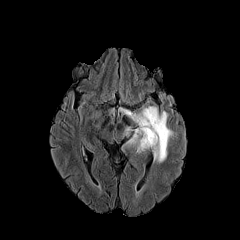
FLAIR MR.
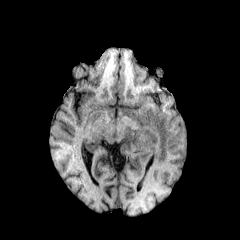
T1-weighted MR.
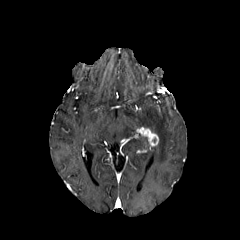
Post-contrast T1-weighted MR image.
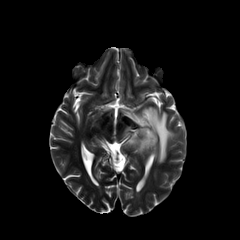
T2-weighted MR image.
Brain; Axial view
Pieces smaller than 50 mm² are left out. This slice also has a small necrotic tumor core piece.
enhancing tumor = [x1=133, y1=127, x2=158, y2=149]
peritumoral edema = [x1=122, y1=133, x2=149, y2=151], [x1=122, y1=127, x2=132, y2=137], [x1=129, y1=106, x2=174, y2=163]